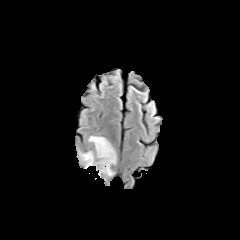
FLAIR magnetic resonance.
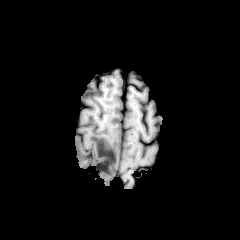
T1-weighted magnetic resonance.
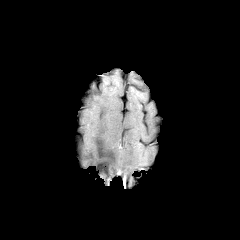
Post-contrast T1-weighted magnetic resonance of the same slice.
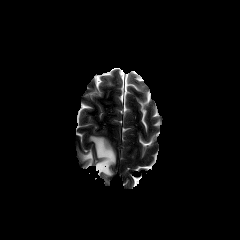
T2-weighted MR image of the same slice.
peritumoral edema: region(90, 136, 115, 175); region(83, 153, 92, 168)